Axial plane | Slice 96/155 | Brain | Image width 240 mm, 1.00 mm slice spacing
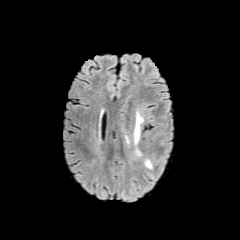
FLAIR MRI.
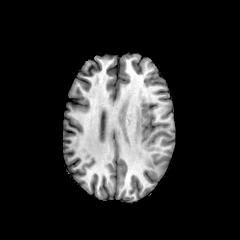
T1-weighted MRI of the same slice.
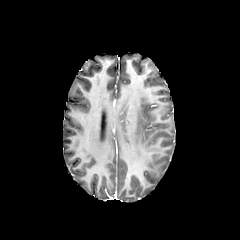
Post-contrast T1-weighted MRI.
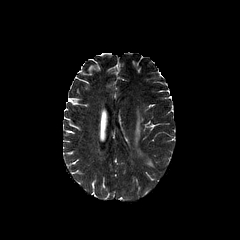
T2-weighted magnetic resonance.
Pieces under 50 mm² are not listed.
peritumoral_edema:
  - 134:110:143:145
  - 144:159:152:168